FLAIR MR.
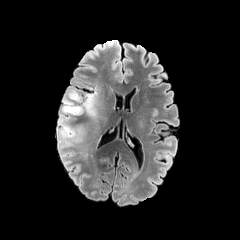
T1-weighted magnetic resonance.
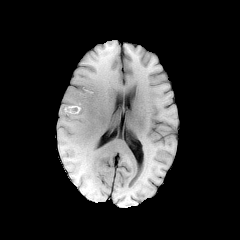
Post-contrast T1-weighted MR image.
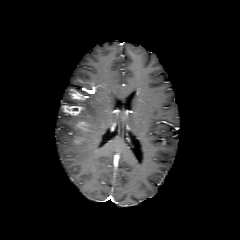
T2-weighted MR image.
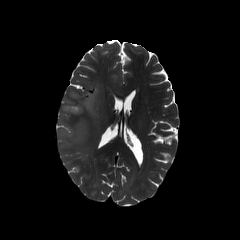
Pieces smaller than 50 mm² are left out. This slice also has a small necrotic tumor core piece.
* enhancing tumor: {"x1": 63, "y1": 105, "x2": 84, "y2": 115}, {"x1": 70, "y1": 89, "x2": 88, "y2": 100}, {"x1": 77, "y1": 121, "x2": 88, "y2": 131}
* peritumoral edema: {"x1": 58, "y1": 106, "x2": 85, "y2": 149}, {"x1": 63, "y1": 90, "x2": 96, "y2": 116}